FLAIR MRI.
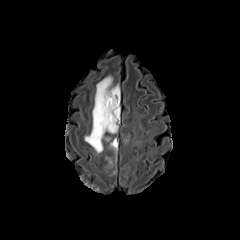
T1-weighted MRI.
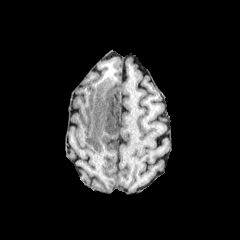
Post-contrast T1-weighted magnetic resonance.
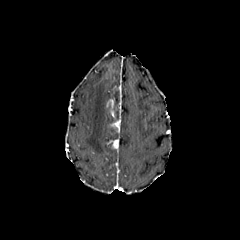
T2-weighted MR image.
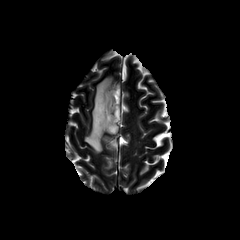
Axial slice, Brain
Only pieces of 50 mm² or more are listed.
Findings:
* peritumoral edema: [85,76,114,152]
* enhancing tumor: [106,87,120,131], [112,139,118,148]
* necrotic tumor core: [106,109,113,125], [113,88,119,105]